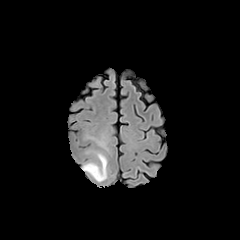
FLAIR magnetic resonance.
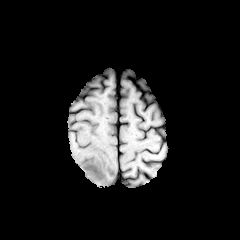
T1-weighted magnetic resonance.
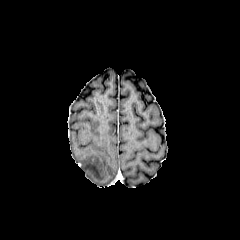
Post-contrast T1-weighted MR image.
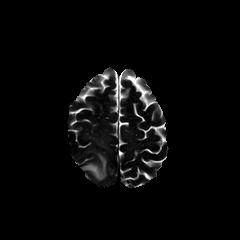
T2-weighted MR image of the same slice.
Head. Image size 240x240.
peritumoral_edema:
  - left=82, top=153, right=106, bottom=181